FLAIR MRI.
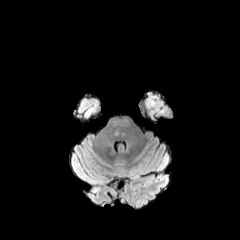
T1-weighted MRI.
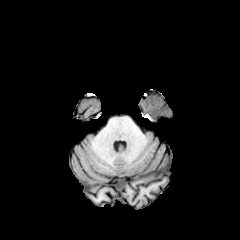
Post-contrast T1-weighted magnetic resonance.
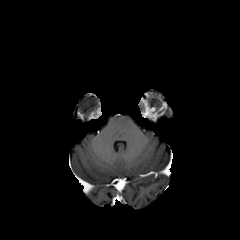
T2-weighted magnetic resonance.
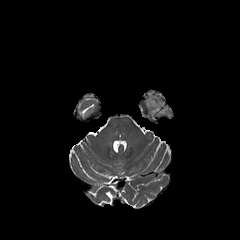
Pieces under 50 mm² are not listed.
<segmentation>
  <peritumoral_edema>x1=142, y1=92, x2=159, y2=104</peritumoral_edema>
  <necrotic_tumor_core>x1=149, y1=99, x2=160, y2=107</necrotic_tumor_core>
  <enhancing_tumor>x1=144, y1=96, x2=166, y2=120</enhancing_tumor>
</segmentation>